FLAIR MR image.
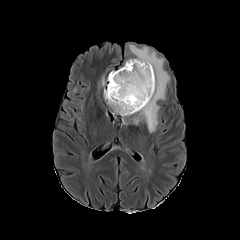
T1-weighted MRI.
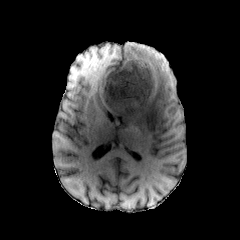
Post-contrast T1-weighted MR image.
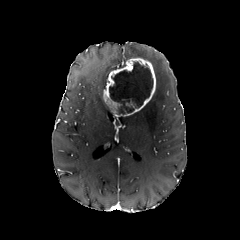
T2-weighted magnetic resonance.
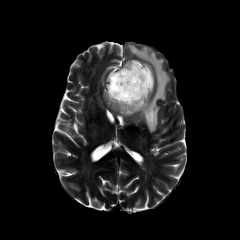
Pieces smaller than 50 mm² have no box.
Annotated regions:
- necrotic tumor core: [109,62,153,114]
- enhancing tumor: [103,58,155,116]
- peritumoral edema: [129,45,169,132]